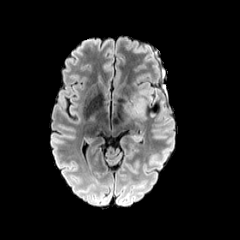
FLAIR magnetic resonance.
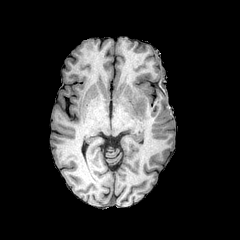
T1-weighted MRI.
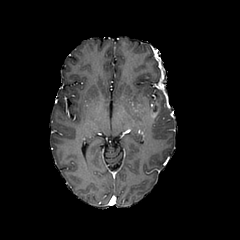
Same slice, post-contrast T1-weighted MR.
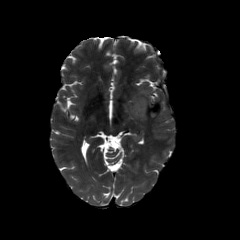
T2-weighted MRI.
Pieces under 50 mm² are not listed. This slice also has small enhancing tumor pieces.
peritumoral edema: region(124, 91, 150, 119); region(133, 134, 143, 141)